Slice 130/155
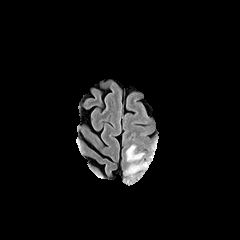
FLAIR MR.
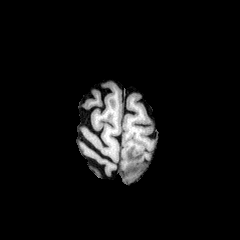
T1-weighted MR image.
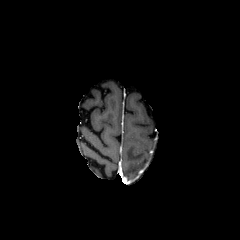
Post-contrast T1-weighted MR image.
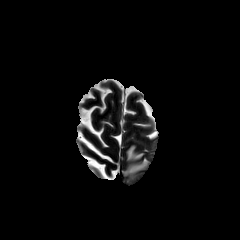
Same slice, T2-weighted MR image.
2 peritumoral edema regions are located at box(126, 145, 143, 161); box(125, 162, 145, 176).